Brain
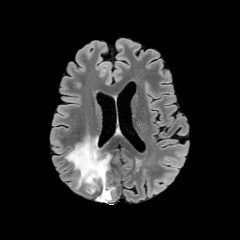
FLAIR MR.
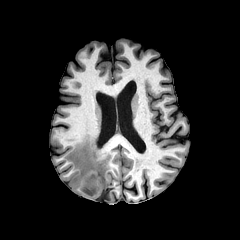
T1-weighted magnetic resonance.
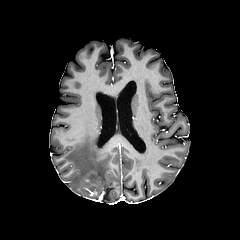
Post-contrast T1-weighted MR image of the same slice.
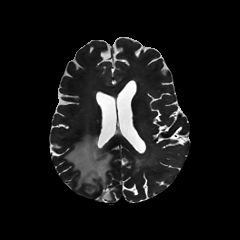
Same slice, T2-weighted MR.
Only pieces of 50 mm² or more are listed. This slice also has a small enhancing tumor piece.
peritumoral edema: 65,136,117,199